Image covers 240 mm x 240 mm. Head. Slice 79 of 155.
FLAIR MRI.
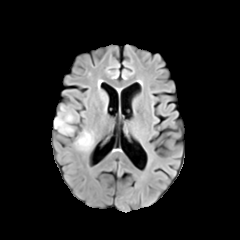
T1-weighted magnetic resonance.
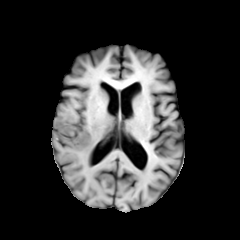
Post-contrast T1-weighted MRI.
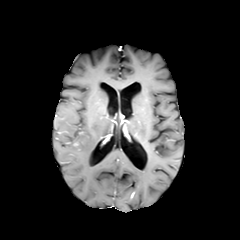
T2-weighted MRI.
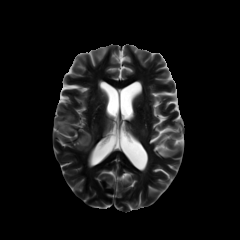
Segmented structures:
- peritumoral edema: box=[74, 130, 94, 151]; box=[54, 114, 73, 134]